Axial view; Slice 20/155; Image size 240x240; Image width 240 mm, 1.00 mm slice spacing
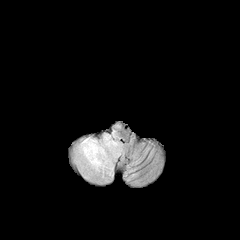
FLAIR MRI.
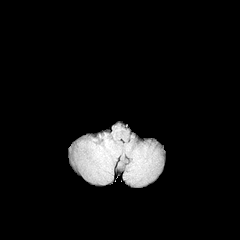
T1-weighted MR.
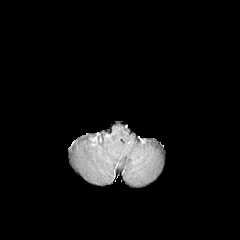
Post-contrast T1-weighted MRI.
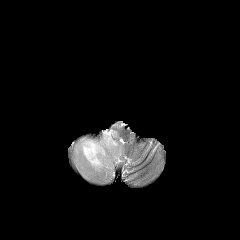
T2-weighted MR image.
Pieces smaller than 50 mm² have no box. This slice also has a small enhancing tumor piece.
peritumoral edema: 73:124:124:181